Image width 240 mm
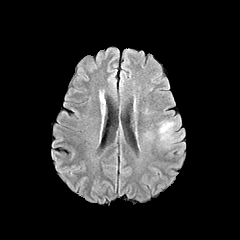
FLAIR MRI.
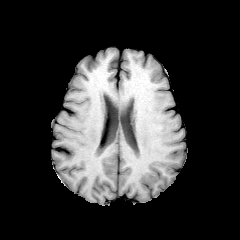
Same slice, T1-weighted MR image.
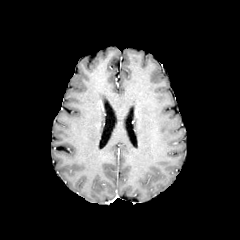
Post-contrast T1-weighted MRI.
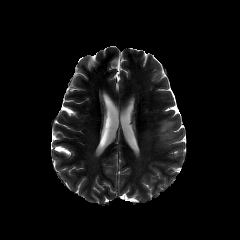
Same slice, T2-weighted MRI.
{"peritumoral_edema": ["region(159, 121, 174, 139)"]}